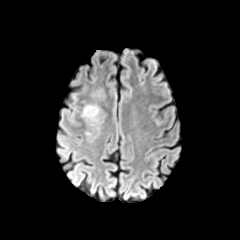
FLAIR MR image.
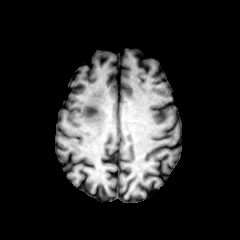
Same slice, T1-weighted magnetic resonance.
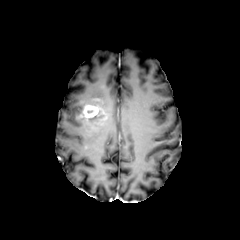
Same slice, post-contrast T1-weighted MR image.
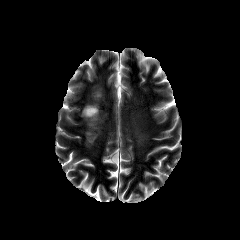
Same slice, T2-weighted MRI.
Brain, Image size 240x240, Axial slice
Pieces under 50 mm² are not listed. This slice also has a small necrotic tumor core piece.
<segmentation>
  <enhancing_tumor>(83, 105, 98, 117)</enhancing_tumor>
  <peritumoral_edema>(85, 113, 98, 125)</peritumoral_edema>
</segmentation>